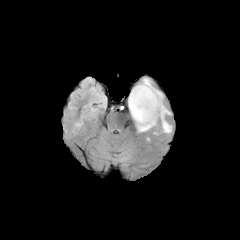
FLAIR MR image.
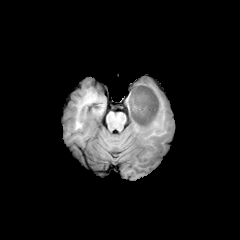
T1-weighted MR image of the same slice.
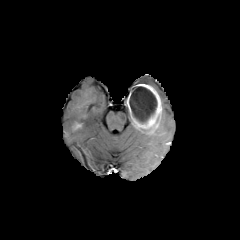
Post-contrast T1-weighted MR.
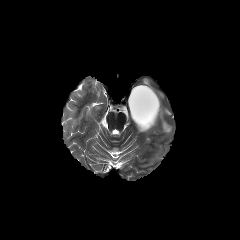
T2-weighted magnetic resonance.
Brain, 240x240, Axial plane
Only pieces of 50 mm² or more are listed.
{
  "enhancing_tumor": [
    "127:84:162:132"
  ],
  "peritumoral_edema": [
    "155:89:171:133",
    "141:78:151:85"
  ],
  "necrotic_tumor_core": [
    "129:86:157:123"
  ]
}